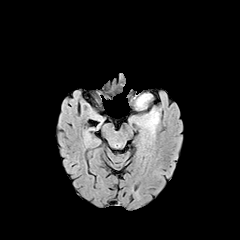
FLAIR MRI.
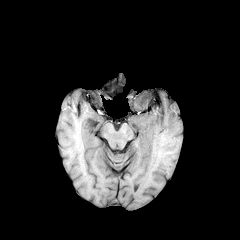
T1-weighted MR image of the same slice.
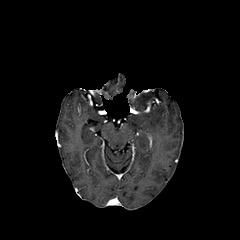
Post-contrast T1-weighted MR image of the same slice.
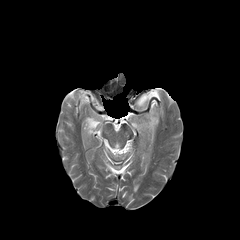
T2-weighted magnetic resonance of the same slice.
Axial slice.
peritumoral_edema:
  - (left=146, top=116, right=158, bottom=134)
  - (left=137, top=94, right=149, bottom=105)